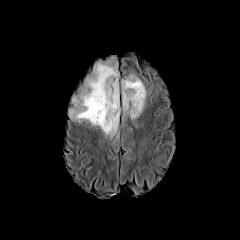
FLAIR MRI.
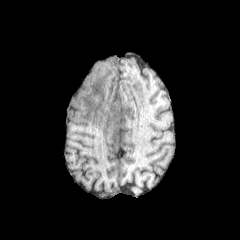
T1-weighted MR of the same slice.
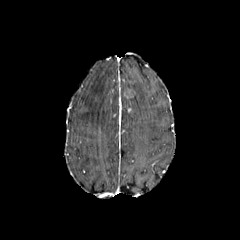
Same slice, post-contrast T1-weighted magnetic resonance.
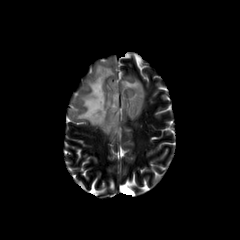
T2-weighted MRI of the same slice.
Axial slice. Brain.
enhancing tumor: (x1=124, y1=89, x2=132, y2=98) | peritumoral edema: (x1=121, y1=75, x2=146, y2=119), (x1=69, y1=57, x2=118, y2=137)